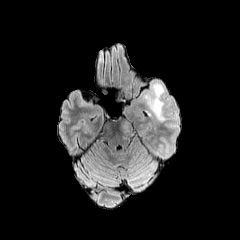
FLAIR magnetic resonance.
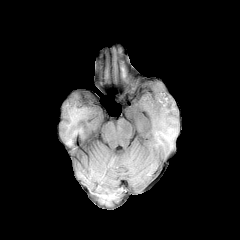
T1-weighted magnetic resonance.
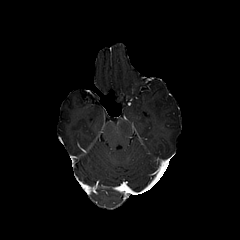
Post-contrast T1-weighted MR of the same slice.
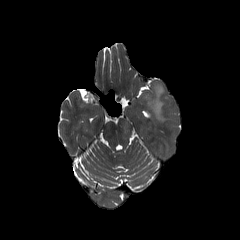
T2-weighted MR image of the same slice.
Axial slice. Brain.
Findings:
* peritumoral edema: [145,84,164,121], [122,120,134,135]